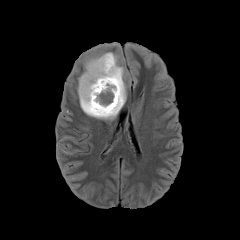
FLAIR MR.
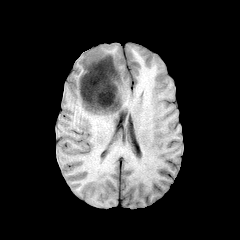
T1-weighted MRI of the same slice.
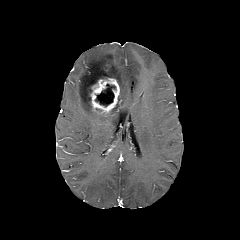
Post-contrast T1-weighted MR of the same slice.
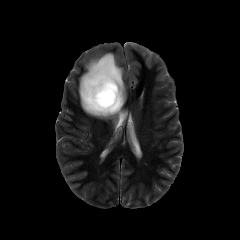
Same slice, T2-weighted MR.
Brain | Axial slice
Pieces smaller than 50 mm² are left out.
{"enhancing_tumor": ["l=89, t=77, r=119, b=115"], "peritumoral_edema": ["l=77, t=52, r=126, b=120"], "necrotic_tumor_core": ["l=95, t=84, r=115, b=106"]}